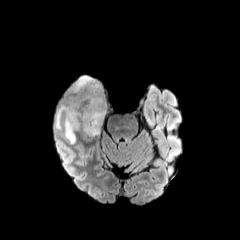
FLAIR MR.
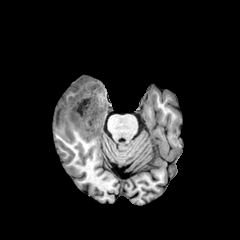
T1-weighted MR of the same slice.
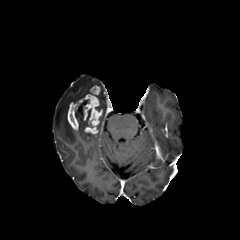
Post-contrast T1-weighted magnetic resonance.
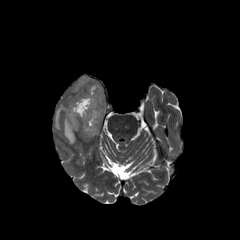
T2-weighted magnetic resonance.
Axial slice
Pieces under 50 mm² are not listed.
peritumoral edema at {"x1": 72, "y1": 76, "x2": 106, "y2": 134}, {"x1": 76, "y1": 114, "x2": 86, "y2": 130}, {"x1": 55, "y1": 104, "x2": 75, "y2": 144}
enhancing tumor at {"x1": 67, "y1": 85, "x2": 102, "y2": 134}
necrotic tumor core at {"x1": 76, "y1": 100, "x2": 87, "y2": 116}